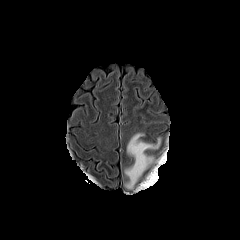
FLAIR MRI.
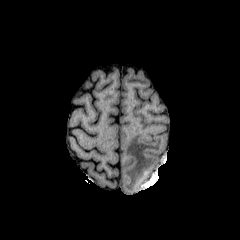
T1-weighted MRI of the same slice.
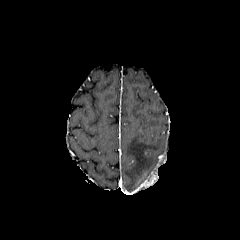
Post-contrast T1-weighted magnetic resonance.
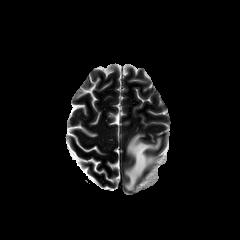
Same slice, T2-weighted MRI.
Image size 240x240 | Head
<segmentation>
  <peritumoral_edema>l=124, t=132, r=162, b=189</peritumoral_edema>
</segmentation>